FLAIR MR.
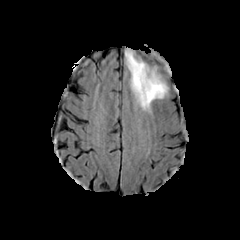
T1-weighted magnetic resonance.
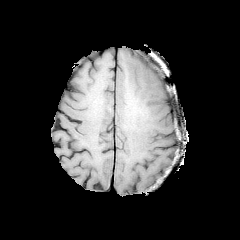
Post-contrast T1-weighted MRI.
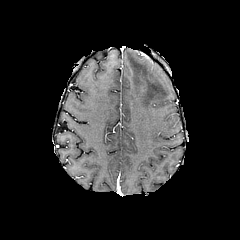
T2-weighted MR image.
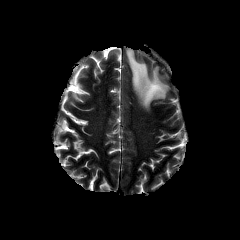
Head | Axial slice
{"peritumoral_edema": ["l=125, t=49, r=168, b=109"]}